Brain
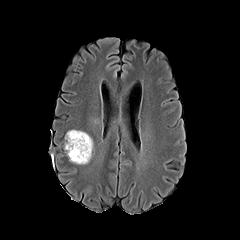
FLAIR MR.
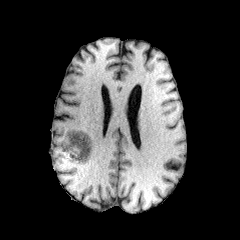
T1-weighted MR image of the same slice.
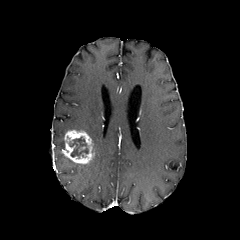
Post-contrast T1-weighted MR of the same slice.
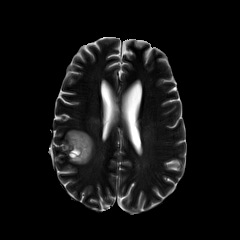
Same slice, T2-weighted MR.
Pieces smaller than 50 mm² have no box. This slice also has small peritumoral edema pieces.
necrotic tumor core — 69,137,88,158
enhancing tumor — 64,130,94,163